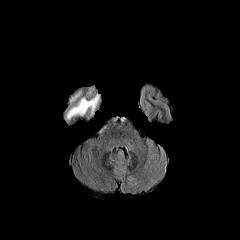
FLAIR magnetic resonance.
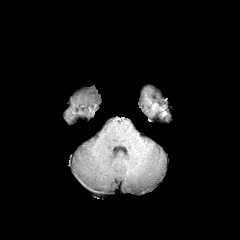
T1-weighted MRI of the same slice.
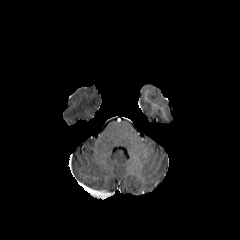
Post-contrast T1-weighted MR.
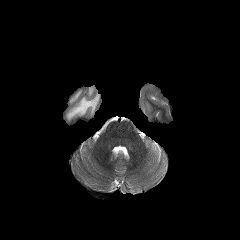
T2-weighted MR image of the same slice.
Image size 240x240
2 peritumoral edema regions are located at x1=66, y1=87, x2=99, y2=119; x1=70, y1=91, x2=81, y2=102.